Slice 77 of 155. 240x240.
FLAIR MRI.
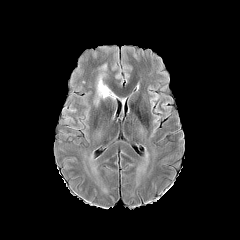
T1-weighted MR image.
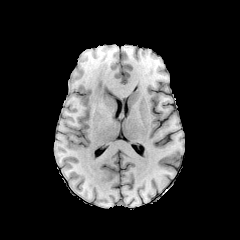
Post-contrast T1-weighted MR.
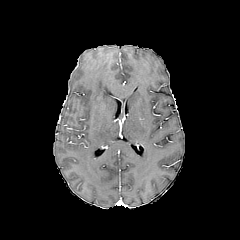
T2-weighted MR image.
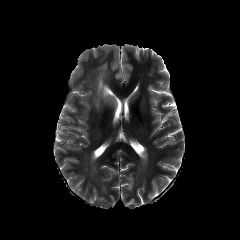
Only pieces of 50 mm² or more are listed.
peritumoral edema = 94 72 115 105